FLAIR MRI.
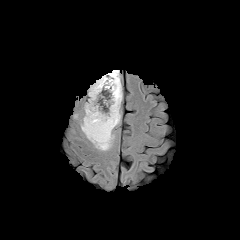
T1-weighted MR image.
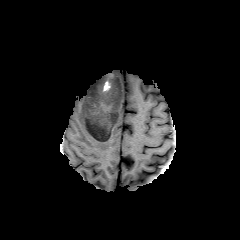
Post-contrast T1-weighted MR image.
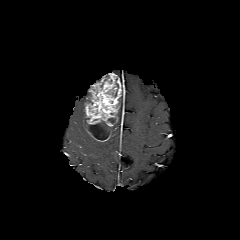
T2-weighted magnetic resonance.
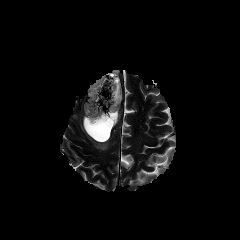
Axial plane, 240x240 px, Brain
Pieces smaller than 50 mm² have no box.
The largest peritumoral edema region is at [81,109,120,150]. The enhancing tumor is at [84,72,121,141]. The largest necrotic tumor core region is at [87,121,110,140].